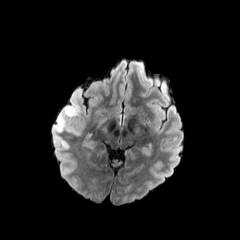
FLAIR MR image.
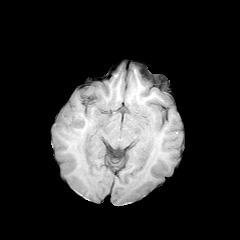
T1-weighted MR image.
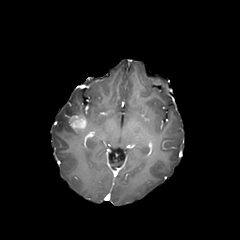
Same slice, post-contrast T1-weighted MR.
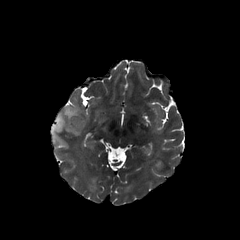
T2-weighted magnetic resonance of the same slice.
Brain; 240x240
enhancing_tumor:
  - bbox(68, 114, 86, 132)
peritumoral_edema:
  - bbox(55, 105, 81, 135)